Head. 240x240. Slice 97/155. Image width 240 mm.
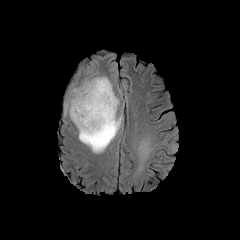
FLAIR MR image.
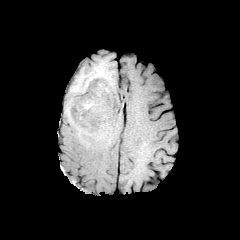
Same slice, T1-weighted magnetic resonance.
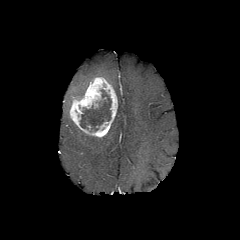
Post-contrast T1-weighted magnetic resonance.
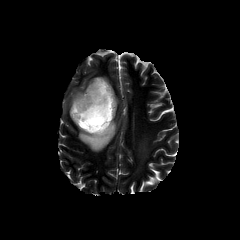
T2-weighted MR image.
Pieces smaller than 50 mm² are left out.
Findings:
- peritumoral edema: [78,99,122,153], [69,80,91,111], [140,129,177,163]
- necrotic tumor core: [80,89,111,131]
- enhancing tumor: [69,77,117,137]